FLAIR magnetic resonance.
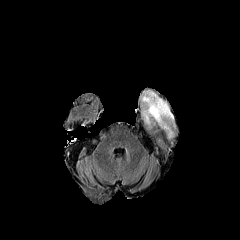
T1-weighted magnetic resonance.
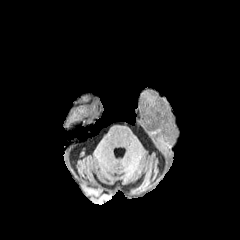
Post-contrast T1-weighted MR.
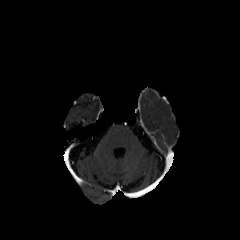
T2-weighted MR image.
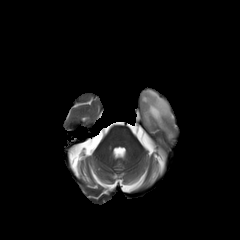
Axial slice
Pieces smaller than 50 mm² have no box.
peritumoral_edema:
  - [x1=142, y1=91, x2=173, y2=129]